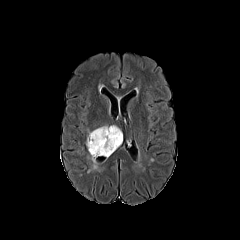
FLAIR MRI.
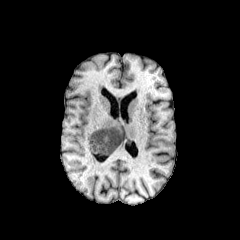
T1-weighted MRI.
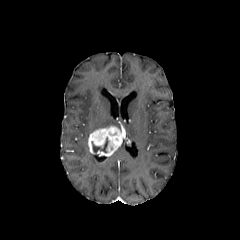
Post-contrast T1-weighted MR image.
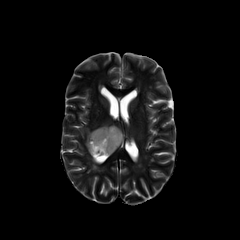
T2-weighted MR image.
Axial view
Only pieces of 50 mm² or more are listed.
Findings:
- necrotic tumor core: (92, 138, 108, 152)
- peritumoral edema: (86, 129, 98, 169)
- enhancing tumor: (88, 126, 123, 156)